Slice 35/155 | 240x240 px | Axial slice
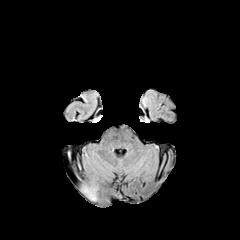
FLAIR MR.
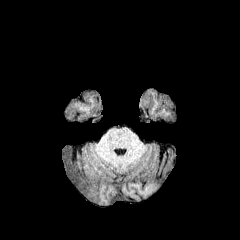
T1-weighted magnetic resonance of the same slice.
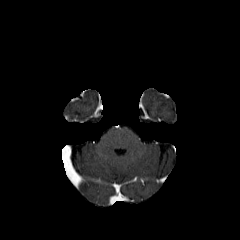
Post-contrast T1-weighted magnetic resonance.
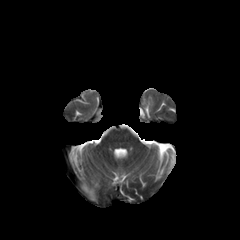
Same slice, T2-weighted MRI.
peritumoral edema: (left=82, top=184, right=97, bottom=200)